FLAIR magnetic resonance.
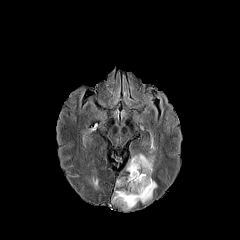
T1-weighted MR.
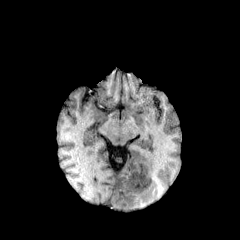
Post-contrast T1-weighted magnetic resonance.
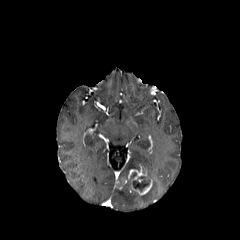
T2-weighted MRI.
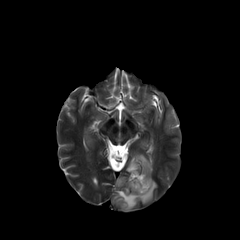
Axial plane. Brain. Image size 240x240.
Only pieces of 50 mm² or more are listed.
necrotic tumor core = 131, 176, 150, 191
enhancing tumor = 130, 178, 152, 195; 119, 166, 147, 188
peritumoral edema = 126, 153, 153, 178; 112, 178, 157, 210